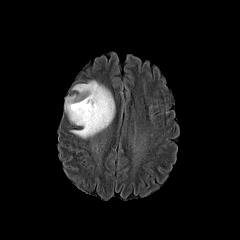
FLAIR magnetic resonance.
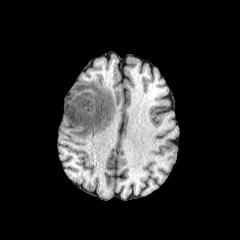
T1-weighted magnetic resonance.
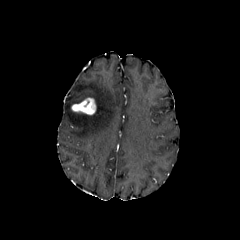
Post-contrast T1-weighted MR.
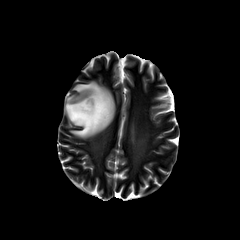
T2-weighted magnetic resonance of the same slice.
Brain; 240x240 px
enhancing tumor = box=[71, 97, 96, 115]
peritumoral edema = box=[64, 80, 115, 138]